FLAIR MR.
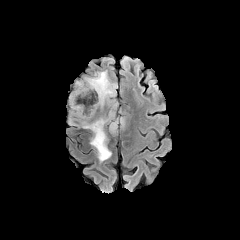
T1-weighted MR.
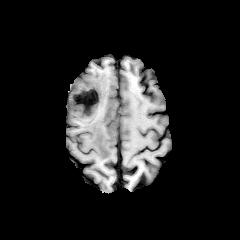
Post-contrast T1-weighted magnetic resonance.
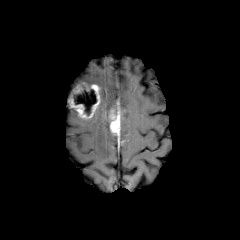
T2-weighted MR image.
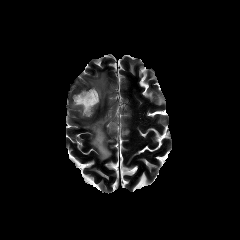
Axial plane
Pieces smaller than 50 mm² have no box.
<segmentation>
  <necrotic_tumor_core>(73, 88, 96, 115)</necrotic_tumor_core>
  <peritumoral_edema>(87, 72, 115, 104), (84, 117, 111, 161)</peritumoral_edema>
  <enhancing_tumor>(67, 81, 100, 119), (105, 102, 130, 135)</enhancing_tumor>
</segmentation>